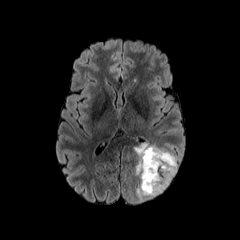
FLAIR MRI.
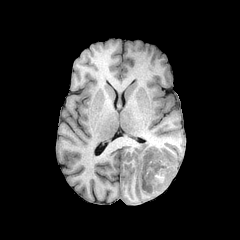
T1-weighted MR of the same slice.
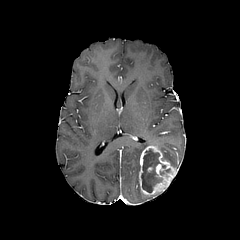
Post-contrast T1-weighted MR image of the same slice.
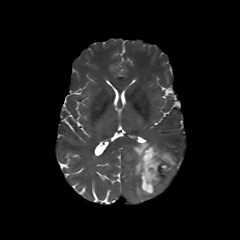
T2-weighted MR image.
Axial view; Head
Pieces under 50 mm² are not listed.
2 peritumoral edema regions are bounded by rect(134, 142, 161, 199); rect(158, 148, 177, 169). The 2 largest enhancing tumor regions are located at rect(138, 145, 177, 194); rect(156, 164, 164, 176). The necrotic tumor core is located at rect(141, 148, 171, 193).